FLAIR MRI.
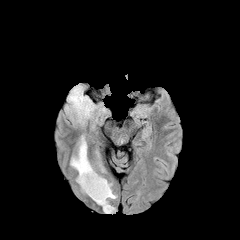
T1-weighted MR image.
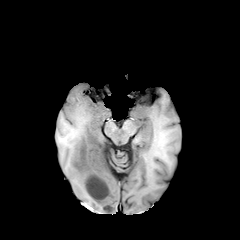
Post-contrast T1-weighted MR.
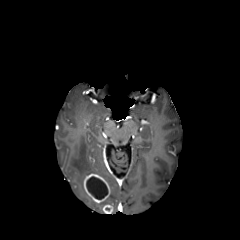
T2-weighted MRI.
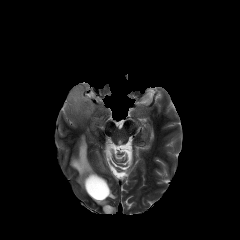
Brain. Axial plane.
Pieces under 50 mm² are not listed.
enhancing tumor at (left=83, top=173, right=110, bottom=203), (left=103, top=205, right=113, bottom=213)
peritumoral edema at (left=98, top=189, right=116, bottom=206), (left=96, top=151, right=104, bottom=172), (left=70, top=135, right=97, bottom=192), (left=66, top=86, right=96, bottom=125)
necrotic tumor core at (left=86, top=177, right=108, bottom=199)